Slice index 73, Image width 240 mm, 1.00 mm slice spacing, Axial slice, Brain
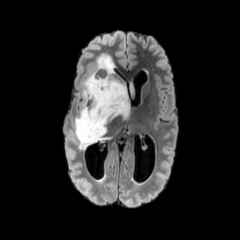
FLAIR MR image.
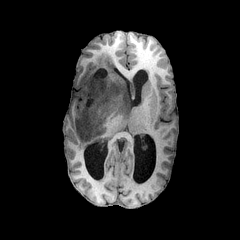
T1-weighted magnetic resonance.
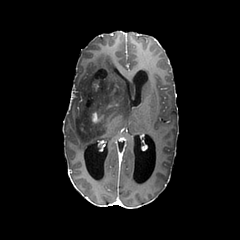
Post-contrast T1-weighted MR.
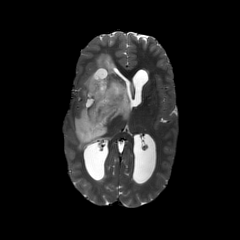
T2-weighted MR.
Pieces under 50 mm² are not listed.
necrotic tumor core: l=95, t=69, r=106, b=78 | peritumoral edema: l=74, t=53, r=130, b=149 | enhancing tumor: l=92, t=112, r=102, b=122; l=80, t=123, r=88, b=133; l=92, t=72, r=107, b=89